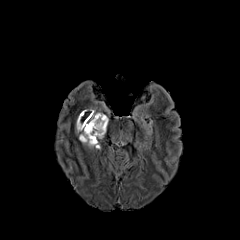
FLAIR MR.
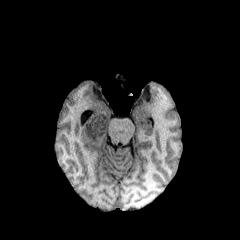
Same slice, T1-weighted MRI.
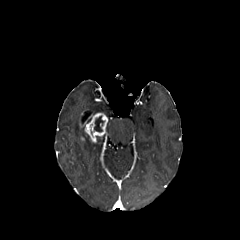
Same slice, post-contrast T1-weighted MRI.
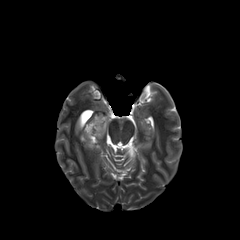
T2-weighted MR image.
Image size 240x240; Axial slice
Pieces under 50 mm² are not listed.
peritumoral edema — [76, 114, 101, 148]
enhancing tumor — [80, 113, 107, 142]
necrotic tumor core — [94, 116, 104, 132]